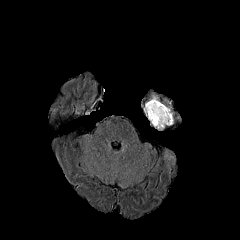
FLAIR MR.
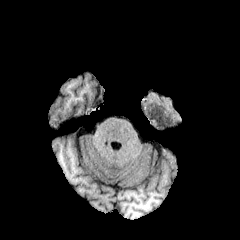
T1-weighted MR image.
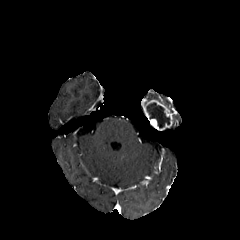
Post-contrast T1-weighted MRI.
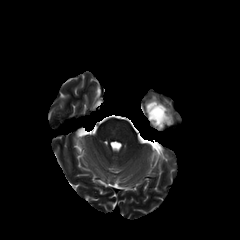
T2-weighted MRI.
Head
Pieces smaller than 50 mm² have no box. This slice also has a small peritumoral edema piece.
The enhancing tumor appears at 143 99 173 130. The necrotic tumor core is at 146 103 169 127.